FLAIR MR.
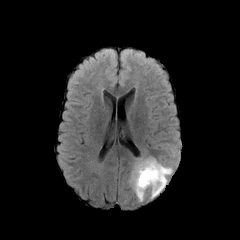
T1-weighted MRI.
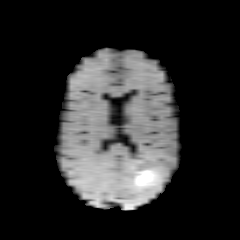
Post-contrast T1-weighted MR image.
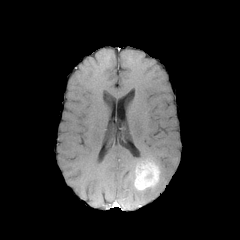
T2-weighted MR.
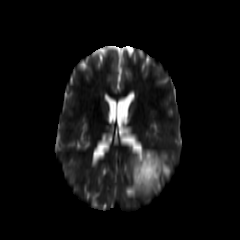
240x240 px, Head, Axial view
{"enhancing_tumor": ["bbox(134, 159, 160, 190)"], "peritumoral_edema": ["bbox(129, 152, 172, 201)"]}